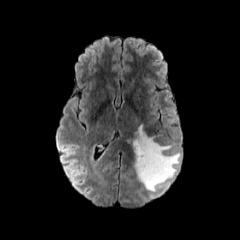
FLAIR MRI.
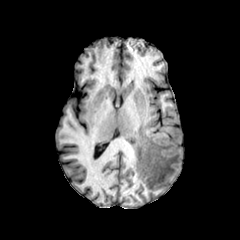
T1-weighted MRI.
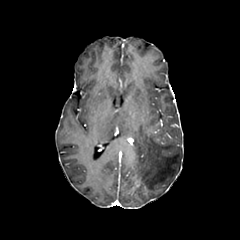
Post-contrast T1-weighted magnetic resonance.
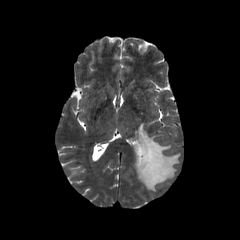
Same slice, T2-weighted MRI.
Axial view, Brain
The peritumoral edema is bounded by box=[127, 125, 180, 191].